Brain, Image covers 240 mm x 240 mm, Axial view
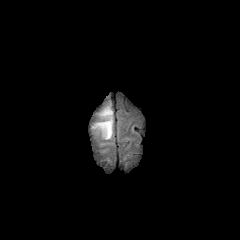
FLAIR MR image.
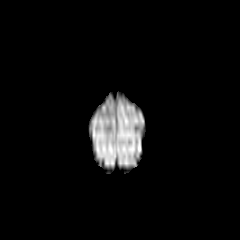
T1-weighted MRI of the same slice.
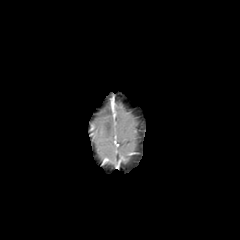
Post-contrast T1-weighted MRI.
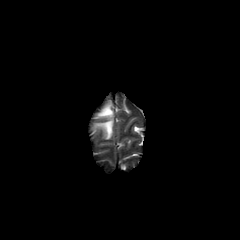
T2-weighted MR image of the same slice.
peritumoral_edema:
  - bbox=[93, 105, 113, 139]